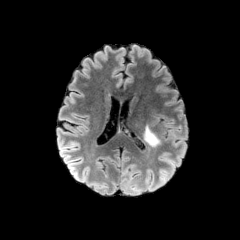
FLAIR magnetic resonance.
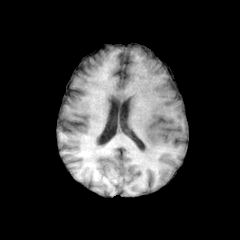
T1-weighted magnetic resonance of the same slice.
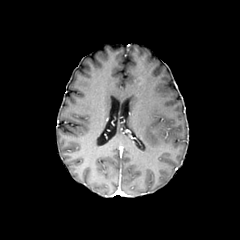
Post-contrast T1-weighted MRI.
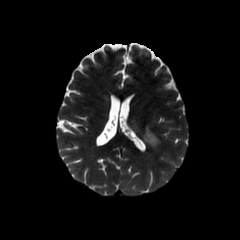
T2-weighted MRI.
Axial slice
peritumoral_edema:
  - bbox(144, 126, 160, 146)